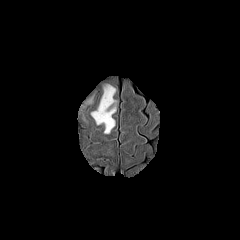
FLAIR MR.
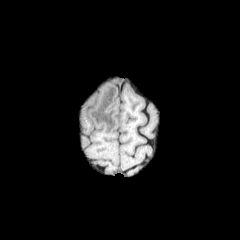
Same slice, T1-weighted magnetic resonance.
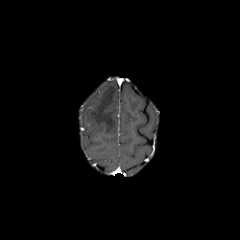
Same slice, post-contrast T1-weighted magnetic resonance.
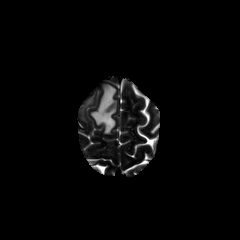
T2-weighted magnetic resonance of the same slice.
240x240 px | Brain
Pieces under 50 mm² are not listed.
<segmentation>
  <peritumoral_edema>(left=91, top=85, right=116, bottom=133)</peritumoral_edema>
</segmentation>